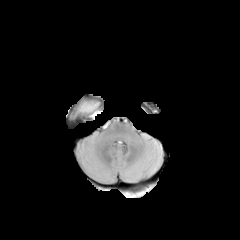
FLAIR magnetic resonance.
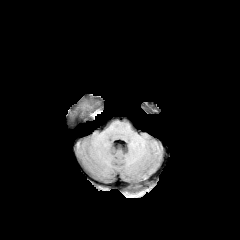
T1-weighted magnetic resonance of the same slice.
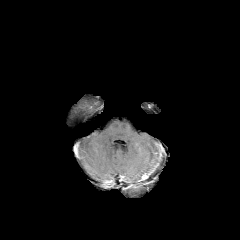
Post-contrast T1-weighted magnetic resonance.
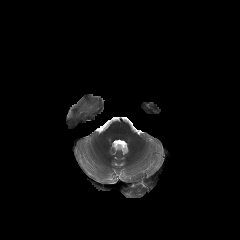
T2-weighted magnetic resonance of the same slice.
Head, Image size 240x240
The peritumoral edema appears at left=70, top=101, right=99, bottom=119.